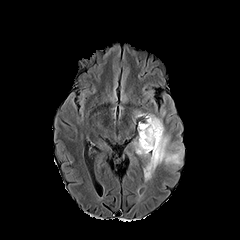
FLAIR MR.
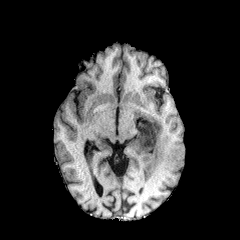
T1-weighted MR.
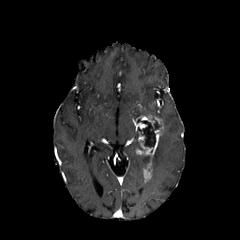
Post-contrast T1-weighted MRI.
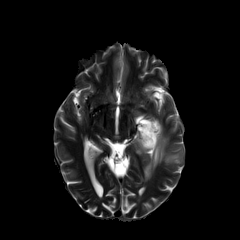
T2-weighted MR.
Axial view; Brain
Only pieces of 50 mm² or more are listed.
peritumoral edema — (150, 130, 183, 173), (135, 112, 149, 118)
enhancing tumor — (136, 116, 163, 156), (143, 162, 152, 181), (136, 115, 154, 130)
necrotic tumor core — (138, 118, 161, 147)